Brain
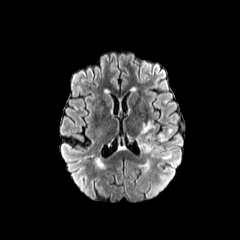
FLAIR magnetic resonance.
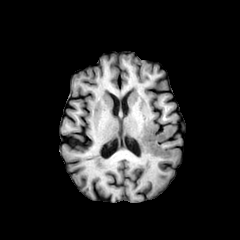
Same slice, T1-weighted magnetic resonance.
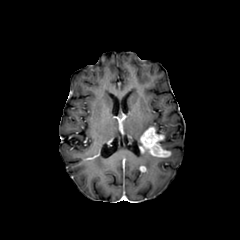
Post-contrast T1-weighted MR.
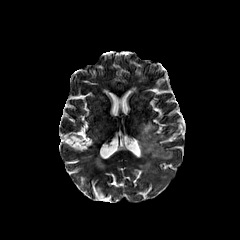
T2-weighted magnetic resonance of the same slice.
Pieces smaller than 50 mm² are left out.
- peritumoral edema: x1=158 y1=128 x2=173 y2=143, x1=136 y1=121 x2=154 y2=145
- enhancing tumor: x1=139 y1=127 x2=170 y2=157